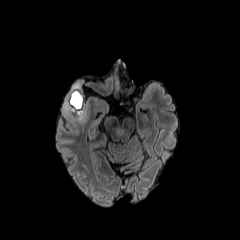
FLAIR MR.
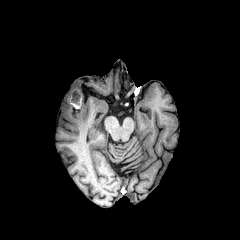
T1-weighted magnetic resonance.
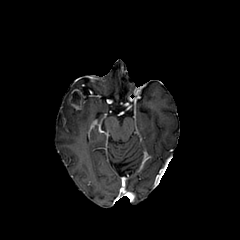
Post-contrast T1-weighted magnetic resonance.
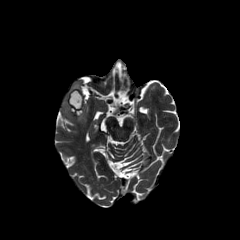
Same slice, T2-weighted MR.
Brain, 240x240 px
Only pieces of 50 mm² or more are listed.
Findings:
• enhancing tumor: [x1=69, y1=89, x2=83, y2=110]
• peritumoral edema: [x1=63, y1=101, x2=74, y2=114], [x1=77, y1=107, x2=85, y2=121]
• necrotic tumor core: [x1=71, y1=91, x2=80, y2=105]